Axial plane; 240x240; Head
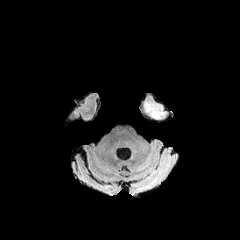
FLAIR MR image.
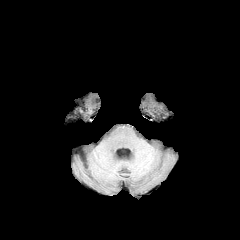
T1-weighted magnetic resonance.
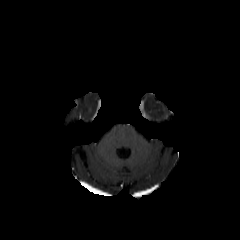
Same slice, post-contrast T1-weighted magnetic resonance.
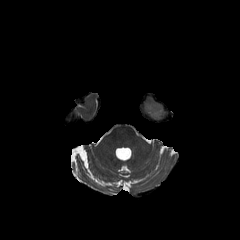
T2-weighted MRI of the same slice.
peritumoral edema — (144, 100, 161, 118)